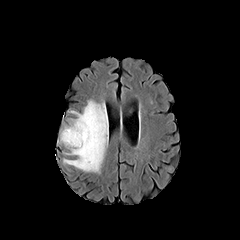
FLAIR magnetic resonance.
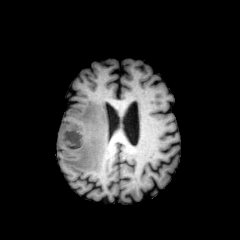
T1-weighted MRI of the same slice.
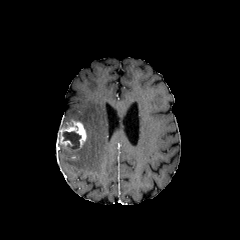
Same slice, post-contrast T1-weighted MR.
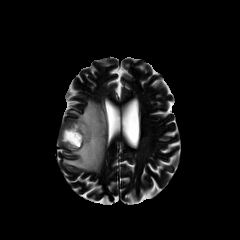
T2-weighted magnetic resonance of the same slice.
The necrotic tumor core lies within [63,131,80,149]. The enhancing tumor is located at [58,120,86,149]. The peritumoral edema appears at [63,100,108,173].